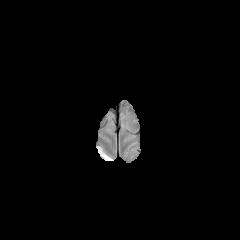
FLAIR MR image.
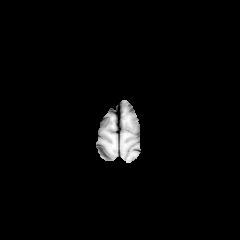
Same slice, T1-weighted MRI.
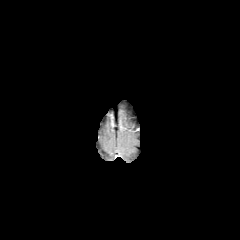
Post-contrast T1-weighted MR.
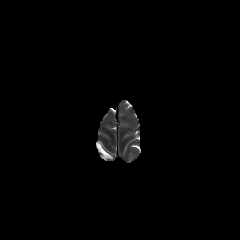
Same slice, T2-weighted MR image.
The peritumoral edema is bounded by [x1=98, y1=147, x2=111, y2=160].